FLAIR MR.
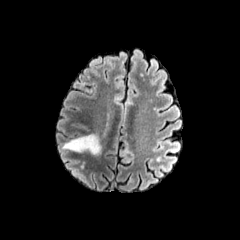
T1-weighted MRI.
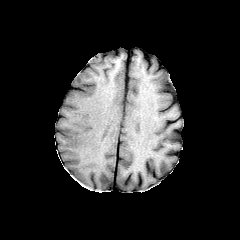
Post-contrast T1-weighted MR.
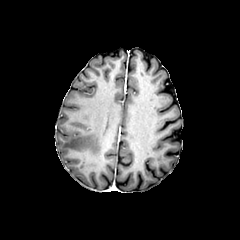
T2-weighted MR image.
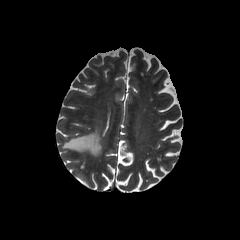
Head.
The peritumoral edema is bounded by 62,134,101,155.